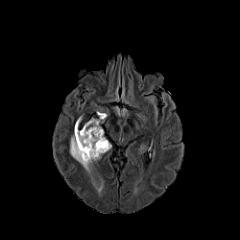
FLAIR MR image.
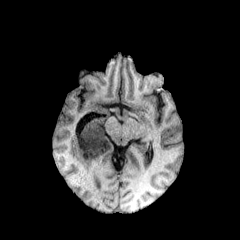
T1-weighted MRI.
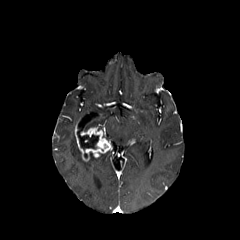
Same slice, post-contrast T1-weighted MRI.
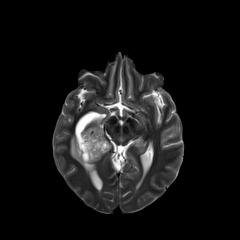
T2-weighted MR image.
Axial plane.
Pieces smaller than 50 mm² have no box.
peritumoral edema at rect(84, 113, 106, 131); rect(70, 129, 102, 167)
enhancing tumor at rect(75, 125, 111, 161)
necrotic tumor core at rect(79, 134, 98, 149)